Slice 120/155
FLAIR magnetic resonance.
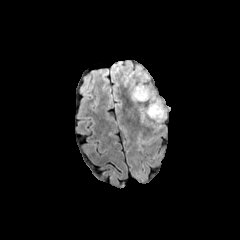
T1-weighted magnetic resonance.
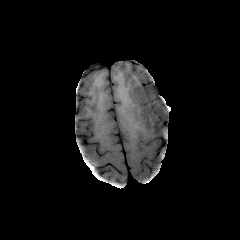
Post-contrast T1-weighted magnetic resonance.
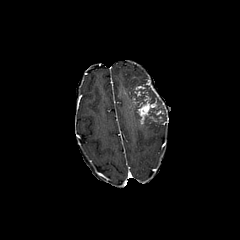
T2-weighted magnetic resonance.
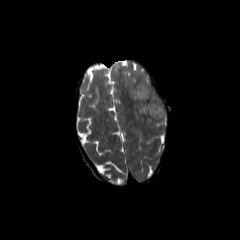
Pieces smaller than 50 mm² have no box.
necrotic tumor core — (x1=139, y1=87, x2=155, y2=105), (x1=145, y1=99, x2=159, y2=117)
enhancing tumor — (x1=133, y1=82, x2=164, y2=124)
peritumoral edema — (x1=122, y1=71, x2=149, y2=101)